Slice 122 of 155, Image width 240 mm, 1.00 mm slice spacing
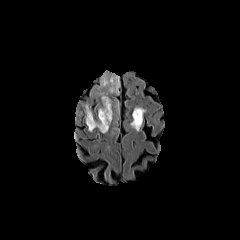
FLAIR magnetic resonance.
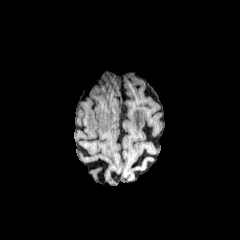
Same slice, T1-weighted MR image.
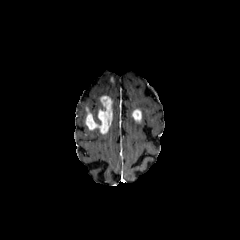
Same slice, post-contrast T1-weighted magnetic resonance.
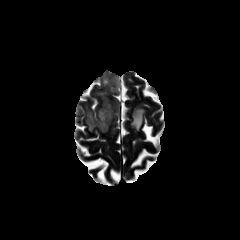
T2-weighted MRI.
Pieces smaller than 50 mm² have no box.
The 3 largest peritumoral edema regions are bounded by 130:107:145:131, 96:73:120:96, 84:104:91:120. 2 enhancing tumor regions are bounded by 85:95:112:133, 132:109:141:122.